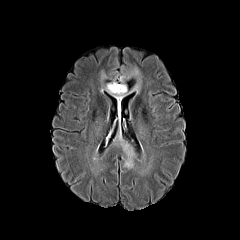
FLAIR MRI.
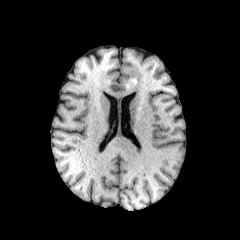
T1-weighted MR.
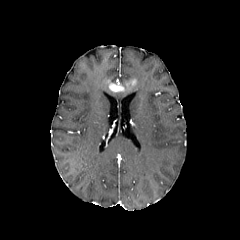
Post-contrast T1-weighted MR of the same slice.
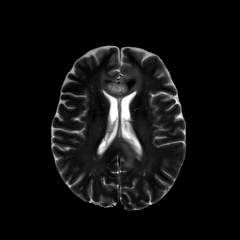
Same slice, T2-weighted MRI.
Axial view; 240x240; Head
peritumoral edema — rect(100, 67, 141, 103); rect(114, 132, 135, 168)
enhancing tumor — rect(108, 83, 125, 92)